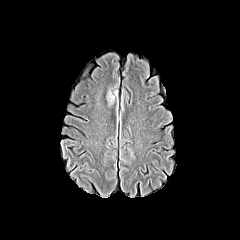
FLAIR MRI.
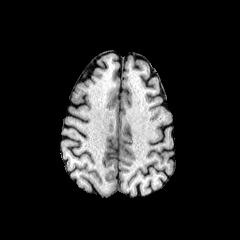
T1-weighted MR of the same slice.
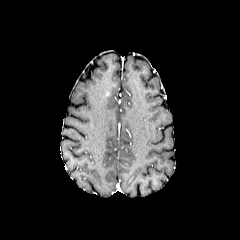
Same slice, post-contrast T1-weighted magnetic resonance.
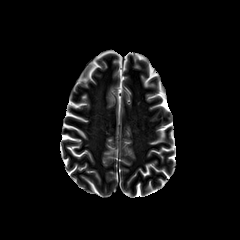
T2-weighted MR.
240x240. Axial slice.
The peritumoral edema lies within x1=106 y1=83 x2=119 y2=107.